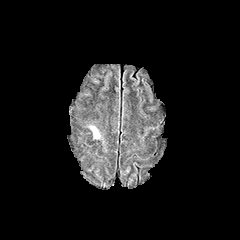
FLAIR MRI.
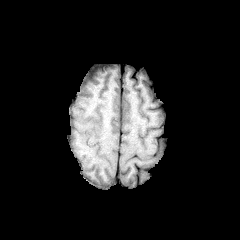
Same slice, T1-weighted MRI.
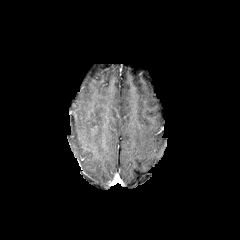
Post-contrast T1-weighted MRI.
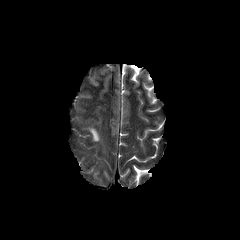
Same slice, T2-weighted MR.
Axial slice | Brain
The peritumoral edema is at 90,126,99,139.